Slice 55/155; Brain; Axial plane
FLAIR MR.
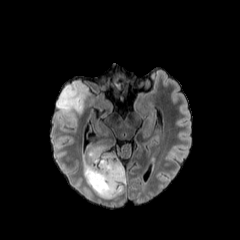
T1-weighted MRI.
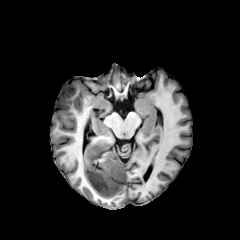
Post-contrast T1-weighted magnetic resonance.
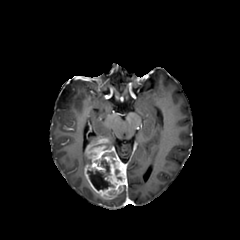
T2-weighted MR.
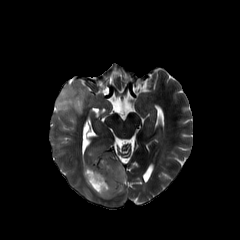
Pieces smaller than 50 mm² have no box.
The 3 largest peritumoral edema regions appear at (83, 154, 90, 175), (84, 186, 111, 201), (56, 80, 88, 121). The enhancing tumor is at (84, 139, 126, 198). The largest necrotic tumor core region is bounded by (87, 156, 113, 190).